Slice 83 of 155
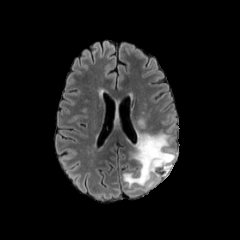
FLAIR MRI.
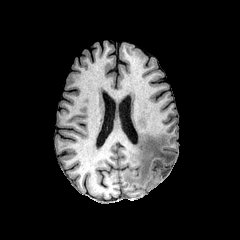
T1-weighted MR of the same slice.
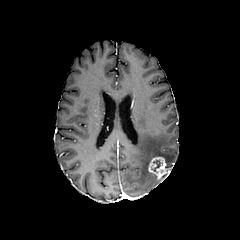
Post-contrast T1-weighted MRI of the same slice.
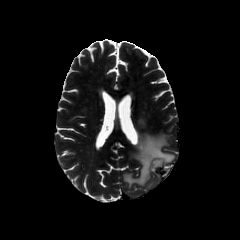
Same slice, T2-weighted MR image.
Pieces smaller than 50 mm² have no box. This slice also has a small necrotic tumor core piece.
peritumoral edema = bbox=[123, 132, 175, 188]; bbox=[138, 119, 146, 128]
enhancing tumor = bbox=[148, 156, 171, 179]